Image width 240 mm. Brain. Image size 240x240.
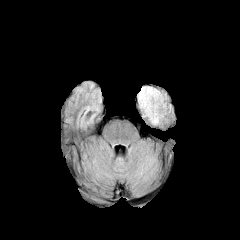
FLAIR magnetic resonance.
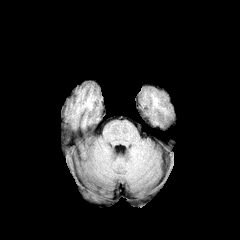
Same slice, T1-weighted magnetic resonance.
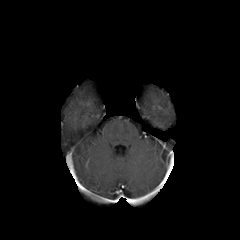
Post-contrast T1-weighted MR of the same slice.
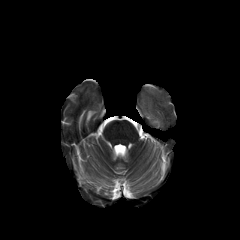
Same slice, T2-weighted MR image.
{
  "peritumoral_edema": [
    "137 86 164 125"
  ]
}